FLAIR MR.
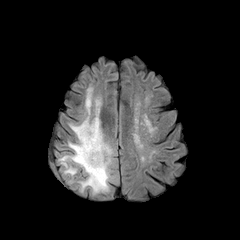
T1-weighted MR image.
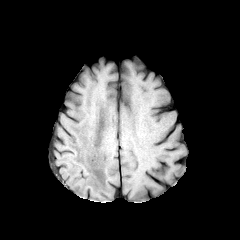
Post-contrast T1-weighted MR.
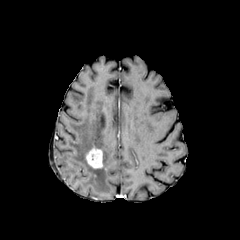
T2-weighted MR image.
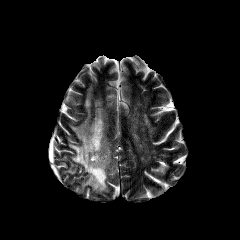
peritumoral edema — box=[64, 167, 76, 174]; box=[59, 87, 112, 192]
enhancing tumor — box=[86, 147, 103, 168]